Brain; Image width 240 mm, 1.00 mm slice spacing
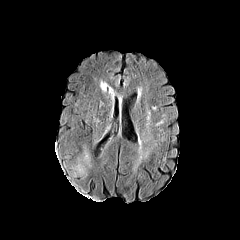
FLAIR MRI.
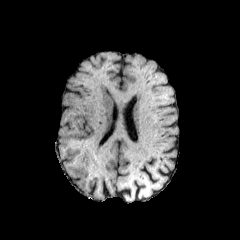
T1-weighted MR of the same slice.
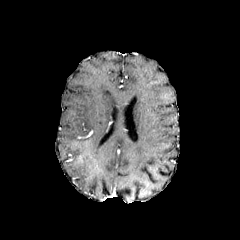
Post-contrast T1-weighted MR.
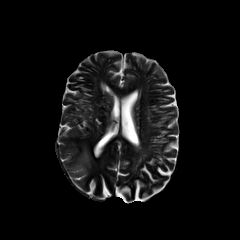
Same slice, T2-weighted MR image.
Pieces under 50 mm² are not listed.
peritumoral edema: rect(75, 164, 85, 174)